Slice index 73 | Axial slice
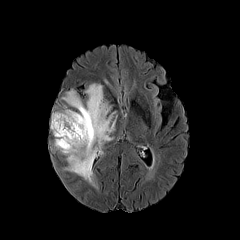
FLAIR magnetic resonance.
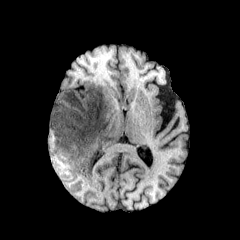
T1-weighted MRI of the same slice.
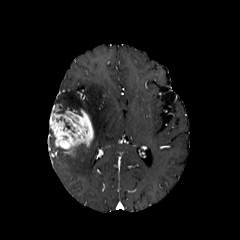
Post-contrast T1-weighted MR image of the same slice.
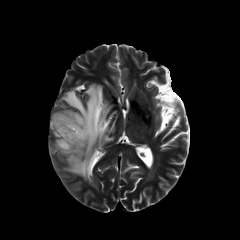
T2-weighted MR image.
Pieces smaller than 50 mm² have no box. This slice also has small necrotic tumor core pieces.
The enhancing tumor is located at x1=50, y1=109, x2=94, y2=156. The largest peritumoral edema region is bounded by x1=60, y1=83, x2=115, y2=186.